FLAIR MR image.
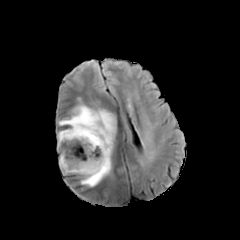
T1-weighted MR image.
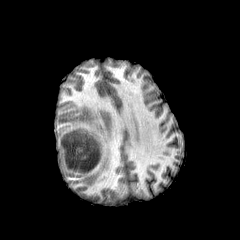
Post-contrast T1-weighted MR image.
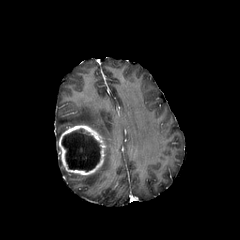
T2-weighted MR image.
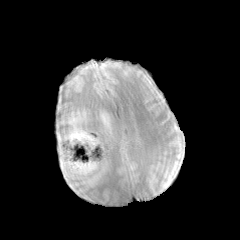
Axial view
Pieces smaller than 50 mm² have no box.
The largest necrotic tumor core region is located at (62,129,100,171). The 2 largest peritumoral edema regions are bounded by (57,105,115,186), (59,158,73,174). The enhancing tumor is located at (57,125,105,175).